Slice 58/155 | 240x240 | Head
FLAIR MRI.
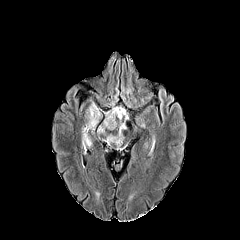
T1-weighted magnetic resonance.
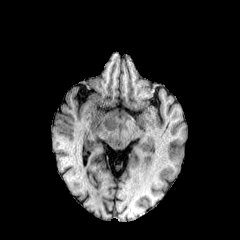
Post-contrast T1-weighted MR image.
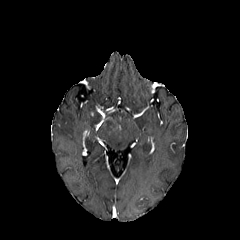
T2-weighted MRI.
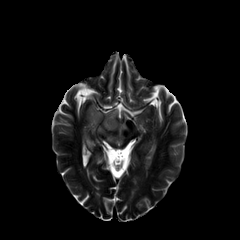
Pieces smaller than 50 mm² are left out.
enhancing_tumor:
  - <bbox>103, 117, 119, 130</bbox>
necrotic_tumor_core:
  - <bbox>104, 120, 116, 129</bbox>
peritumoral_edema:
  - <bbox>82, 103, 128, 147</bbox>